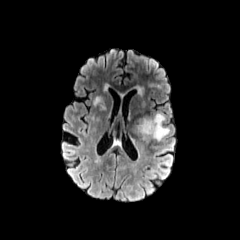
FLAIR magnetic resonance.
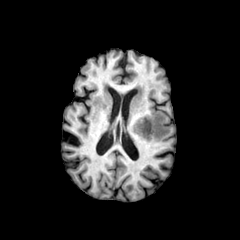
T1-weighted magnetic resonance of the same slice.
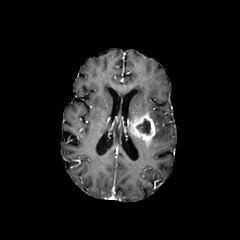
Post-contrast T1-weighted MR of the same slice.
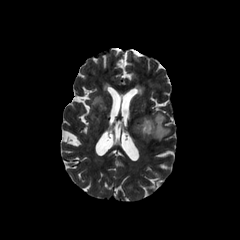
T2-weighted MR image.
Image size 240x240 | Head
peritumoral edema: (150, 112, 169, 140)
enhancing tumor: (131, 112, 157, 147)
necrotic tumor core: (136, 119, 150, 134)